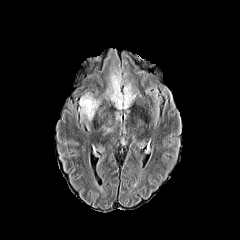
FLAIR MR image.
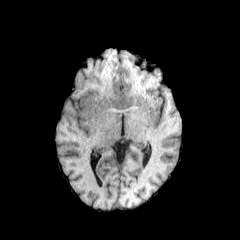
Same slice, T1-weighted MRI.
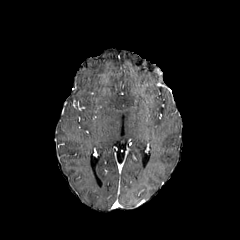
Post-contrast T1-weighted magnetic resonance of the same slice.
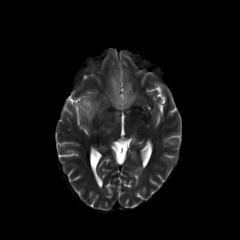
Same slice, T2-weighted MRI.
Head.
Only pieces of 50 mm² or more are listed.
peritumoral_edema:
  - <bbox>111, 75, 134, 109</bbox>
  - <bbox>80, 95, 98, 119</bbox>